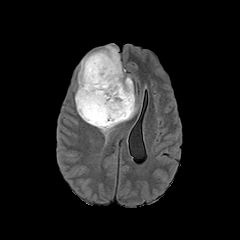
FLAIR magnetic resonance.
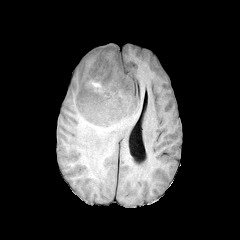
T1-weighted magnetic resonance.
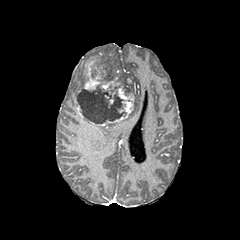
Post-contrast T1-weighted magnetic resonance.
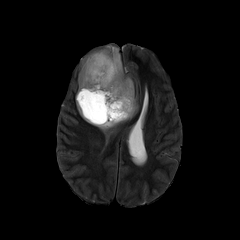
T2-weighted MR image.
Axial view. Brain.
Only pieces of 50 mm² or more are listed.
enhancing tumor = box(76, 56, 134, 125)
necrotic tumor core = box(78, 88, 125, 122)
peritumoral edema = box(75, 45, 138, 136)